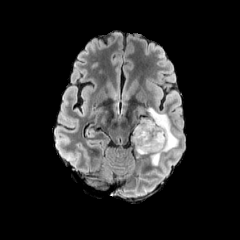
FLAIR magnetic resonance.
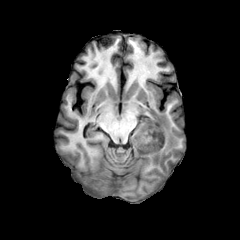
T1-weighted magnetic resonance.
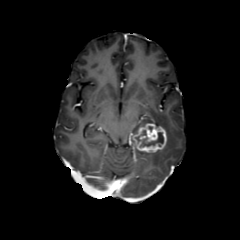
Same slice, post-contrast T1-weighted magnetic resonance.
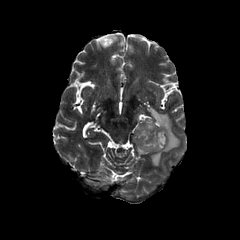
Same slice, T2-weighted magnetic resonance.
Head; Axial slice; 240x240 px
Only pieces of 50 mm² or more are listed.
enhancing tumor: bounding box box=[133, 123, 166, 152]
peritumoral edema: bounding box box=[131, 107, 178, 166]
necrotic tumor core: bounding box box=[140, 132, 163, 146]